Axial slice
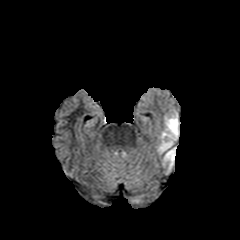
FLAIR MR image.
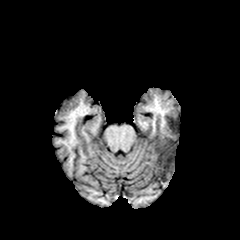
Same slice, T1-weighted magnetic resonance.
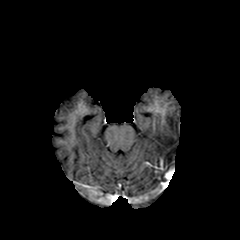
Post-contrast T1-weighted magnetic resonance.
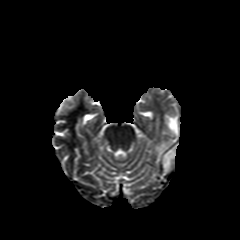
T2-weighted MRI.
2 peritumoral edema regions are bounded by [x1=163, y1=147, x2=176, y2=168], [x1=157, y1=113, x2=178, y2=154].